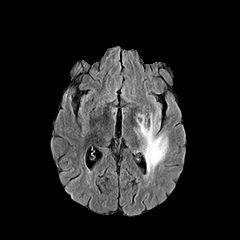
FLAIR MR.
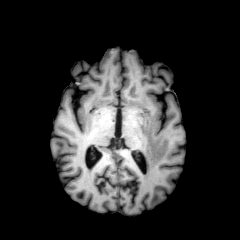
T1-weighted MRI.
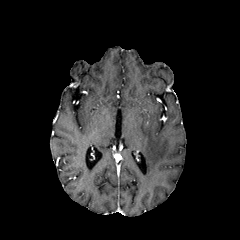
Post-contrast T1-weighted MR.
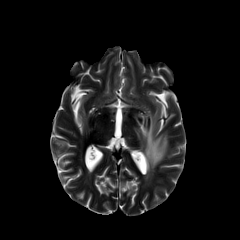
T2-weighted MR image of the same slice.
240x240. Axial plane.
• peritumoral edema: left=133, top=102, right=168, bottom=179